FLAIR MR.
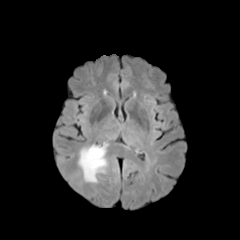
T1-weighted MRI.
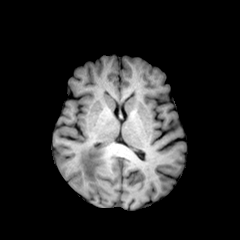
Post-contrast T1-weighted magnetic resonance.
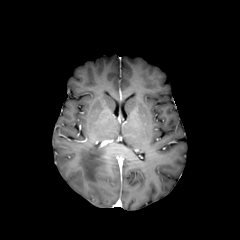
T2-weighted MRI.
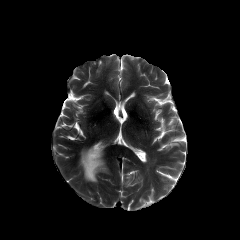
Brain, Axial view
The peritumoral edema is at [78,145,106,182].